FLAIR MR.
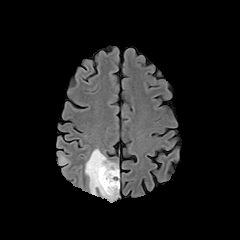
T1-weighted MR image.
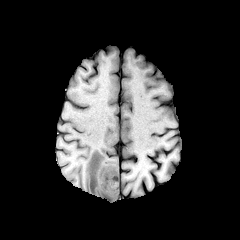
Post-contrast T1-weighted MRI.
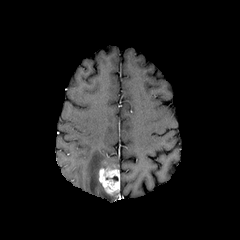
T2-weighted MR.
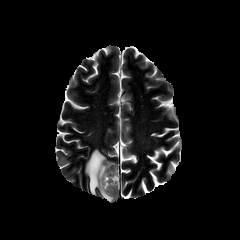
240x240 px, Axial plane
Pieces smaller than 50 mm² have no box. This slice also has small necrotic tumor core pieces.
peritumoral_edema:
  - l=85, t=149, r=117, b=199
enhancing_tumor:
  - l=99, t=165, r=117, b=197